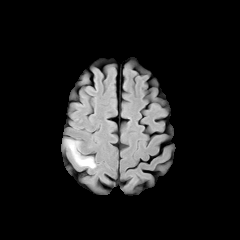
FLAIR MRI.
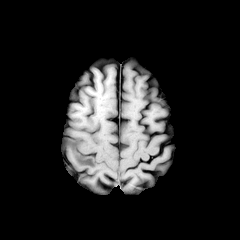
Same slice, T1-weighted magnetic resonance.
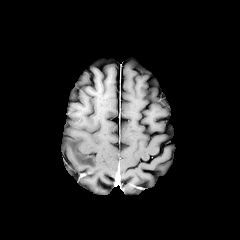
Post-contrast T1-weighted magnetic resonance.
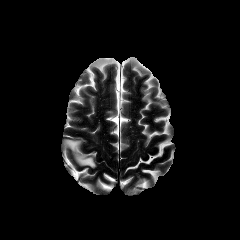
T2-weighted MRI.
Brain | 240x240 px
Findings:
• peritumoral edema: 65:139:95:167